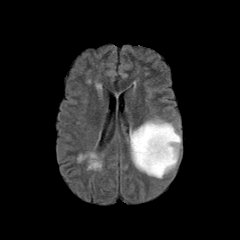
FLAIR MR image.
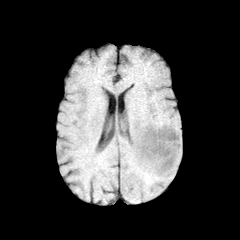
T1-weighted MR.
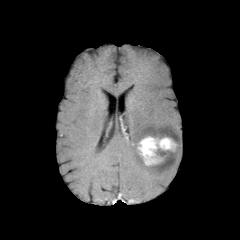
Post-contrast T1-weighted MRI.
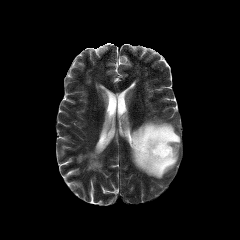
T2-weighted MRI.
Head
The enhancing tumor is located at bbox(137, 135, 177, 165). The necrotic tumor core lies within bbox(156, 149, 168, 156). The peritumoral edema lies within bbox(129, 118, 181, 178).